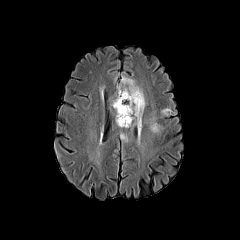
FLAIR MR image.
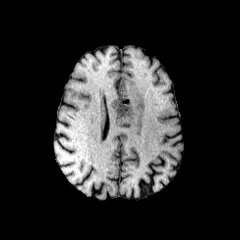
T1-weighted MRI of the same slice.
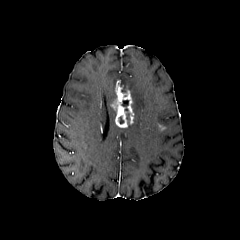
Post-contrast T1-weighted MRI.
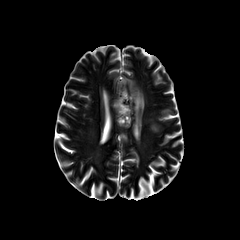
T2-weighted MR of the same slice.
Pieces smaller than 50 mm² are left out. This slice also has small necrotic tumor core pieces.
<segmentation>
  <peritumoral_edema>(left=161, top=108, right=176, bottom=117), (left=121, top=76, right=145, bottom=130), (left=150, top=122, right=161, bottom=133)</peritumoral_edema>
  <enhancing_tumor>(left=111, top=87, right=134, bottom=127)</enhancing_tumor>
</segmentation>